Head; Axial view
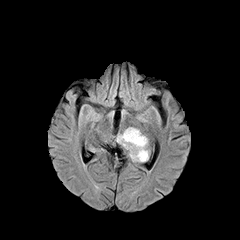
FLAIR MR image.
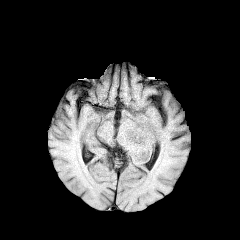
T1-weighted magnetic resonance of the same slice.
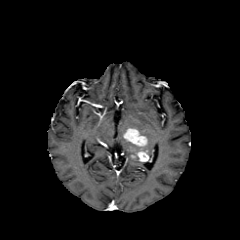
Post-contrast T1-weighted MR.
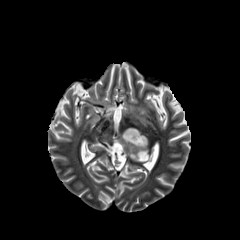
T2-weighted magnetic resonance.
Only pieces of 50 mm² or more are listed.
The largest peritumoral edema region is located at box(116, 134, 137, 157). The enhancing tumor appears at box(123, 128, 148, 161).